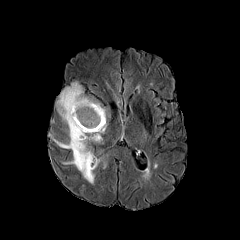
FLAIR MR.
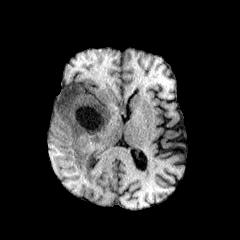
T1-weighted magnetic resonance.
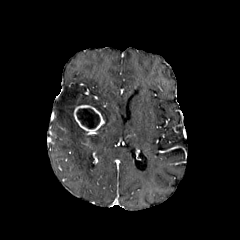
Post-contrast T1-weighted MR.
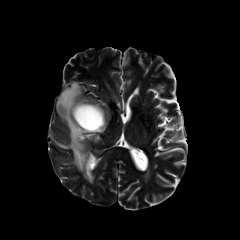
T2-weighted MRI of the same slice.
Head; Axial view
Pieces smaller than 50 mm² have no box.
The largest enhancing tumor region is at bbox(74, 105, 104, 133). The peritumoral edema lies within bbox(56, 82, 106, 183). The necrotic tumor core lies within bbox(76, 108, 99, 128).